Brain
FLAIR MRI.
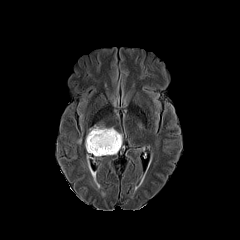
T1-weighted MR.
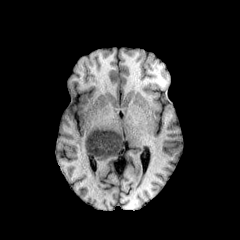
Post-contrast T1-weighted magnetic resonance.
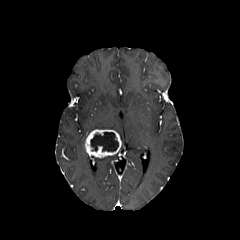
T2-weighted MR.
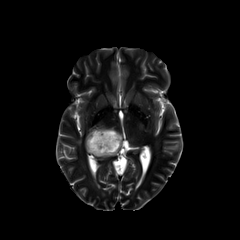
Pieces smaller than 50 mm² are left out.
{"enhancing_tumor": ["box(85, 129, 121, 157)"], "peritumoral_edema": ["box(89, 124, 106, 133)"], "necrotic_tumor_core": ["box(90, 132, 118, 151)"]}